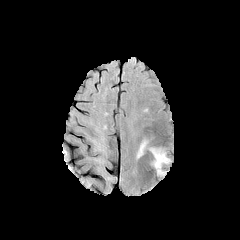
FLAIR magnetic resonance.
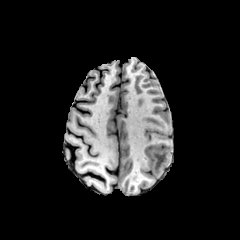
T1-weighted magnetic resonance of the same slice.
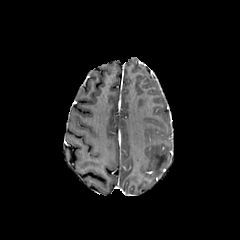
Post-contrast T1-weighted MR image.
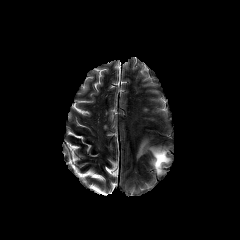
T2-weighted MR.
Head | Axial slice | 240x240
Segmented structures:
* peritumoral edema: <box>137,139,147,158</box>, <box>150,147,170,174</box>